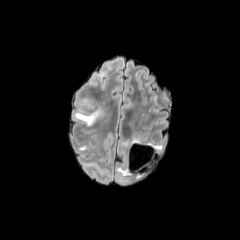
FLAIR magnetic resonance.
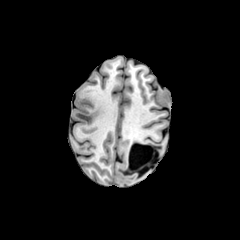
Same slice, T1-weighted MR.
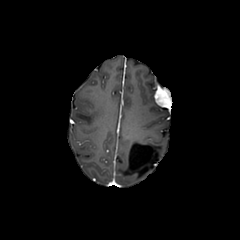
Same slice, post-contrast T1-weighted MR image.
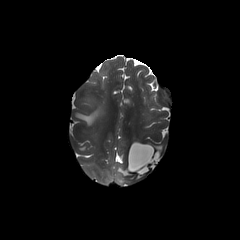
T2-weighted MR.
Axial plane
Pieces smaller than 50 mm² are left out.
The largest peritumoral edema region lies within (74,110,100,125).